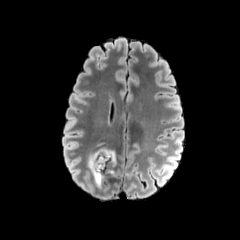
FLAIR MR image.
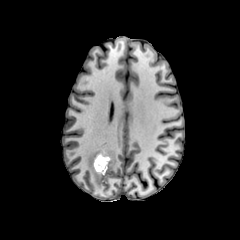
T1-weighted magnetic resonance.
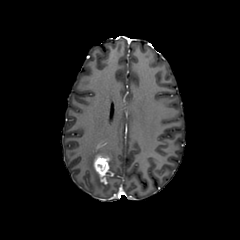
Post-contrast T1-weighted MR image.
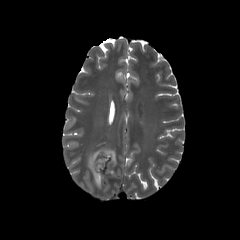
T2-weighted MR image.
Axial view
<segmentation>
  <necrotic_tumor_core>rect(97, 164, 106, 171)</necrotic_tumor_core>
  <enhancing_tumor>rect(94, 153, 113, 184)</enhancing_tumor>
  <peritumoral_edema>rect(88, 142, 115, 188)</peritumoral_edema>
</segmentation>